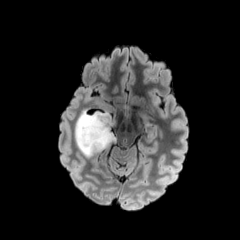
FLAIR MR.
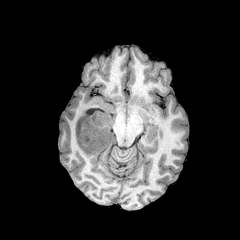
Same slice, T1-weighted MRI.
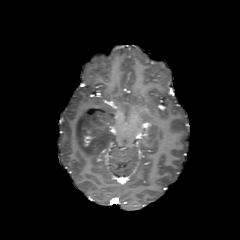
Post-contrast T1-weighted magnetic resonance.
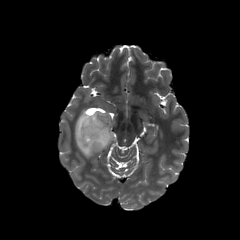
T2-weighted MR of the same slice.
Head, Axial view
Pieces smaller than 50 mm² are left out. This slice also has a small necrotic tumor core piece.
The enhancing tumor is at {"x1": 83, "y1": 130, "x2": 92, "y2": 146}. The peritumoral edema lies within {"x1": 75, "y1": 101, "x2": 117, "y2": 157}.